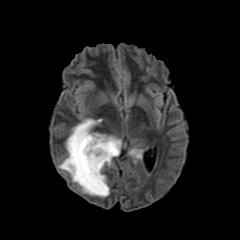
FLAIR MR.
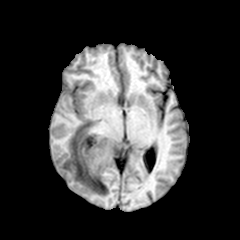
Same slice, T1-weighted MRI.
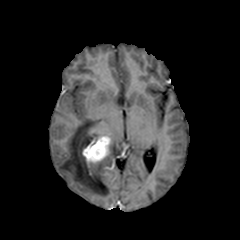
Post-contrast T1-weighted MR image.
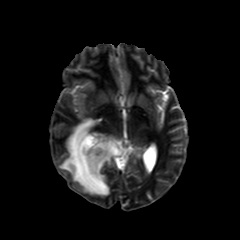
T2-weighted MR.
240x240 px. Head.
<segmentation>
  <peritumoral_edema>bbox=[129, 148, 142, 158]; bbox=[59, 118, 121, 197]</peritumoral_edema>
  <enhancing_tumor>bbox=[82, 136, 111, 163]</enhancing_tumor>
</segmentation>